Head, Image width 240 mm, 1.00 mm slice spacing, Slice 60/155, 240x240 px
FLAIR magnetic resonance.
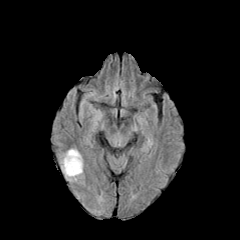
T1-weighted MRI.
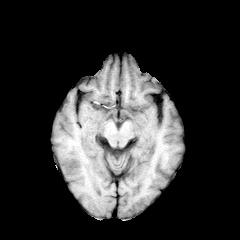
Post-contrast T1-weighted magnetic resonance.
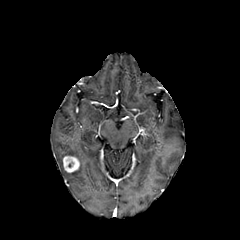
T2-weighted MR.
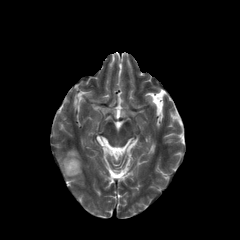
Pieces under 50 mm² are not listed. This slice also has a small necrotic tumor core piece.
Annotated regions:
* enhancing tumor: box(63, 156, 79, 172)
* peritumoral edema: box(59, 149, 83, 181)